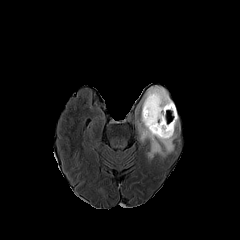
FLAIR MR image.
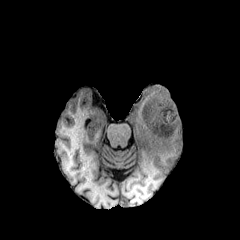
Same slice, T1-weighted MR image.
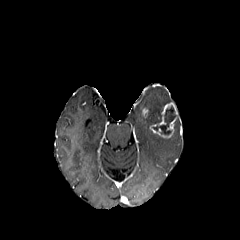
Post-contrast T1-weighted MRI.
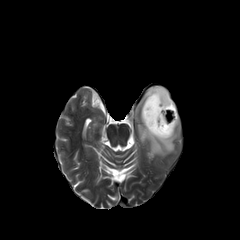
T2-weighted MR of the same slice.
Axial view
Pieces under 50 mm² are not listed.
enhancing tumor: bbox=[150, 102, 178, 138] | necrotic tumor core: bbox=[153, 106, 176, 134] | peritumoral edema: bbox=[137, 86, 176, 159]